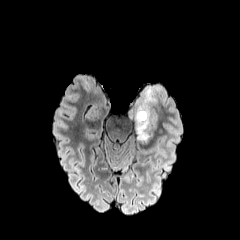
FLAIR MR image.
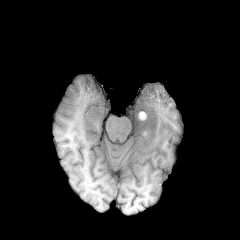
T1-weighted magnetic resonance of the same slice.
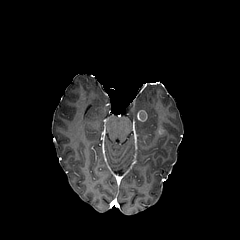
Post-contrast T1-weighted MR image.
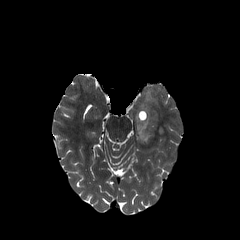
Same slice, T2-weighted MR image.
Axial plane.
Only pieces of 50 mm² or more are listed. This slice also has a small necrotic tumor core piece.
The peritumoral edema appears at 135, 94, 158, 143. The largest enhancing tumor region appears at 137, 110, 147, 121.